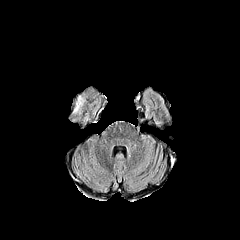
FLAIR magnetic resonance.
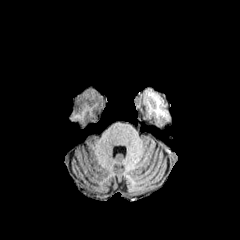
T1-weighted MR.
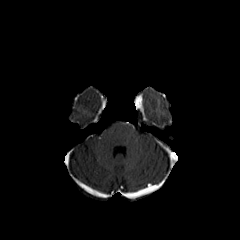
Post-contrast T1-weighted MRI of the same slice.
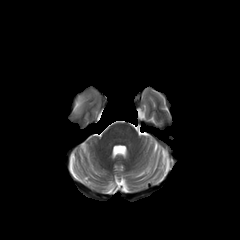
T2-weighted MR.
Brain; Axial slice
peritumoral_edema:
  - {"x1": 73, "y1": 96, "x2": 84, "y2": 113}